Image width 240 mm, 1.00 mm slice spacing. Head. 240x240 px.
FLAIR MR image.
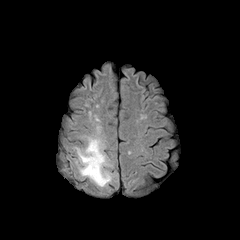
T1-weighted magnetic resonance.
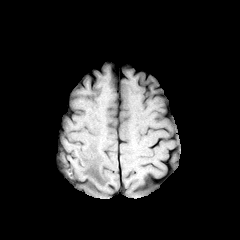
Post-contrast T1-weighted MRI.
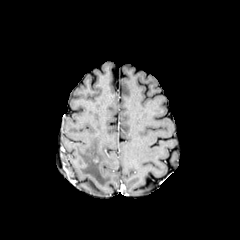
T2-weighted MR.
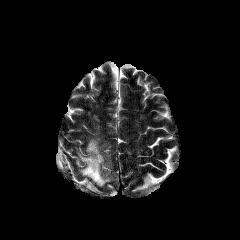
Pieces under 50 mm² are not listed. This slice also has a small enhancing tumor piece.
peritumoral edema: [76, 137, 113, 186]